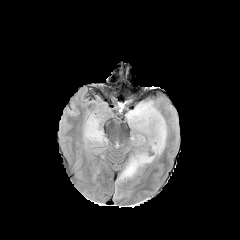
FLAIR MR.
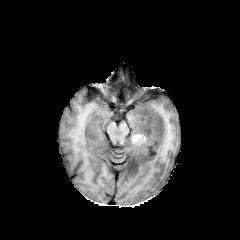
T1-weighted MRI.
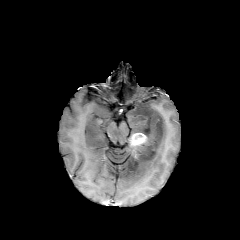
Post-contrast T1-weighted magnetic resonance.
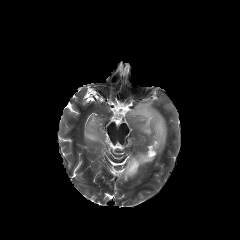
T2-weighted MR image of the same slice.
Brain.
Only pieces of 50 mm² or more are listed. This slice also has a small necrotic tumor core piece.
- peritumoral edema: (left=84, top=115, right=107, bottom=148), (left=118, top=100, right=167, bottom=181)
- enhancing tumor: (left=130, top=133, right=147, bottom=146)